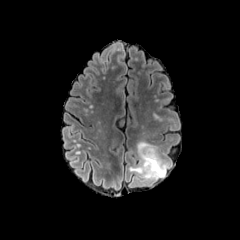
FLAIR magnetic resonance.
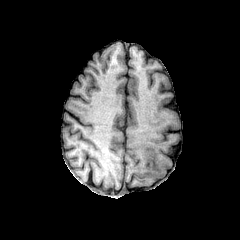
T1-weighted MRI.
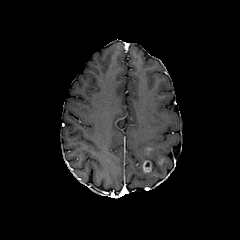
Same slice, post-contrast T1-weighted MR.
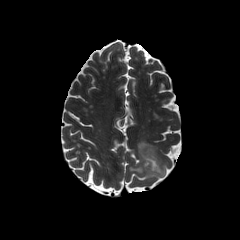
T2-weighted magnetic resonance.
Axial view | Brain
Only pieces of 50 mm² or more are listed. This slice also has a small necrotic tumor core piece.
The peritumoral edema is at (x1=129, y1=141, x2=169, y2=181). The largest enhancing tumor region appears at (x1=143, y1=160, x2=151, y2=172).